Image width 240 mm. 240x240 px. Axial view. Brain.
FLAIR MRI.
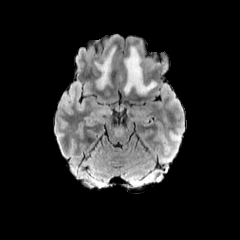
T1-weighted MR image.
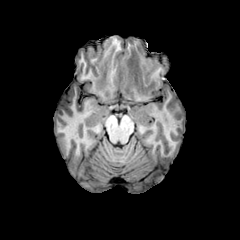
Post-contrast T1-weighted MR.
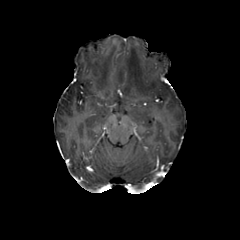
T2-weighted MR.
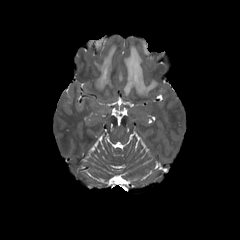
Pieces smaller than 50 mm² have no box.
peritumoral_edema:
  - {"x1": 70, "y1": 82, "x2": 87, "y2": 110}
  - {"x1": 84, "y1": 84, "x2": 92, "y2": 95}
  - {"x1": 123, "y1": 46, "x2": 156, "y2": 95}
  - {"x1": 95, "y1": 47, "x2": 115, "y2": 89}